240x240. Image width 240 mm, 1.00 mm slice spacing.
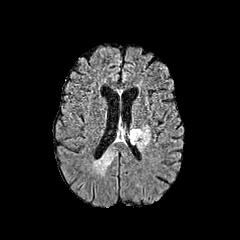
FLAIR MRI.
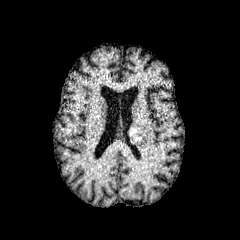
T1-weighted MR image of the same slice.
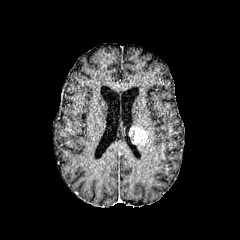
Same slice, post-contrast T1-weighted magnetic resonance.
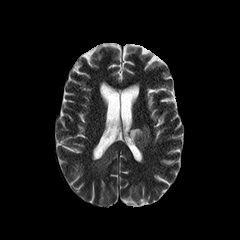
T2-weighted MR.
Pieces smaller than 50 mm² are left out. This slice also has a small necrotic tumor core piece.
enhancing tumor = box(129, 126, 148, 145)
peritumoral edema = box(137, 126, 150, 150); box(94, 151, 115, 173)